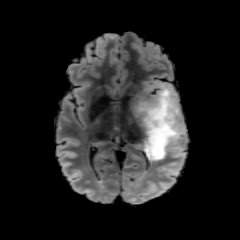
FLAIR MR image.
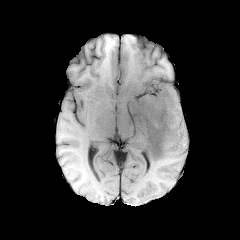
T1-weighted MRI of the same slice.
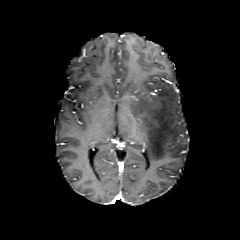
Same slice, post-contrast T1-weighted MR image.
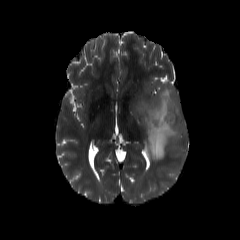
T2-weighted MR.
240x240 px. Brain.
<segmentation>
  <peritumoral_edema>[136,85,185,161]</peritumoral_edema>
</segmentation>